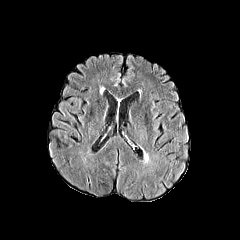
FLAIR MRI.
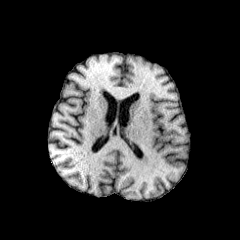
T1-weighted MR image.
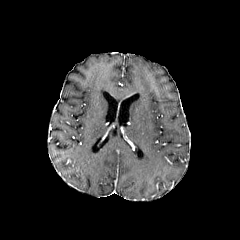
Post-contrast T1-weighted MR image of the same slice.
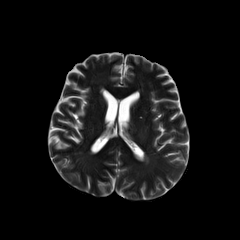
Same slice, T2-weighted MR image.
Head. Axial plane.
<segmentation>
  <peritumoral_edema>143,150,148,163</peritumoral_edema>
</segmentation>